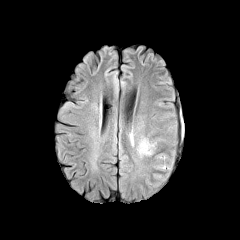
FLAIR MR image.
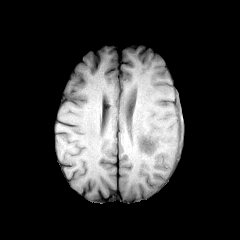
T1-weighted MR.
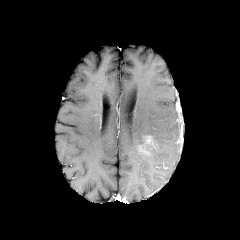
Post-contrast T1-weighted MRI of the same slice.
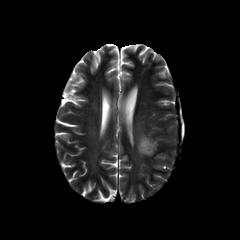
T2-weighted magnetic resonance.
Axial plane | Head
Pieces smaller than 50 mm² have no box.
peritumoral edema = box=[156, 164, 170, 171]; box=[129, 131, 134, 146]; box=[137, 136, 158, 157]
enhancing tumor = box=[139, 136, 154, 153]